Axial slice
FLAIR MRI.
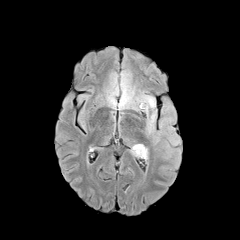
T1-weighted MR.
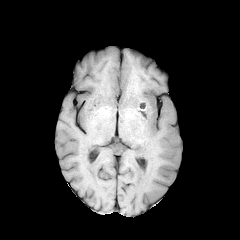
Post-contrast T1-weighted MR.
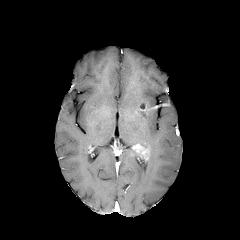
T2-weighted MR.
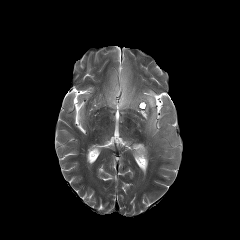
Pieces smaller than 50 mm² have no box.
The largest peritumoral edema region appears at 120, 89, 155, 135. The enhancing tumor appears at 132, 144, 148, 158.